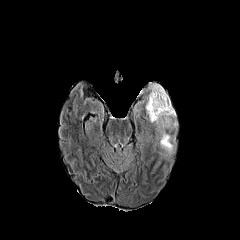
FLAIR MRI.
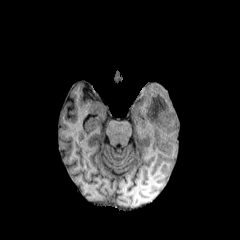
T1-weighted MR image of the same slice.
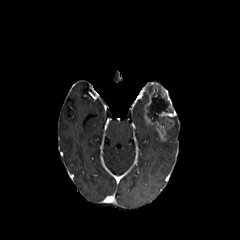
Post-contrast T1-weighted MR.
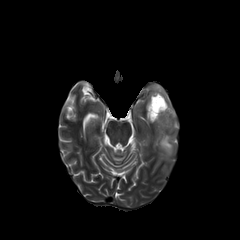
T2-weighted MR.
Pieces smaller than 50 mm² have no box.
necrotic tumor core: <box>147,86,172,125</box> | enhancing tumor: <box>145,83,176,140</box> | peritumoral edema: <box>167,116,177,130</box>, <box>157,133,175,155</box>